FLAIR MR image.
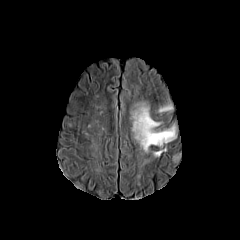
T1-weighted magnetic resonance.
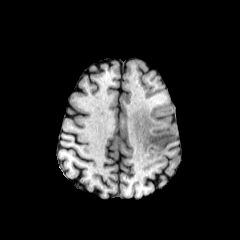
Post-contrast T1-weighted magnetic resonance.
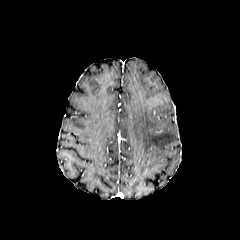
T2-weighted MR image.
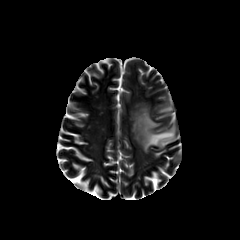
Axial plane | 240x240 px
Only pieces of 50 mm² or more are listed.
peritumoral_edema:
  - [153,148,166,156]
  - [159,104,172,112]
  - [132,103,176,152]